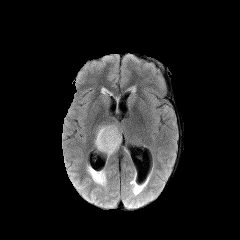
FLAIR magnetic resonance.
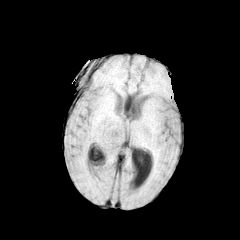
Same slice, T1-weighted MR image.
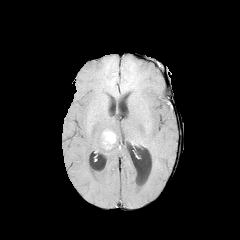
Post-contrast T1-weighted magnetic resonance.
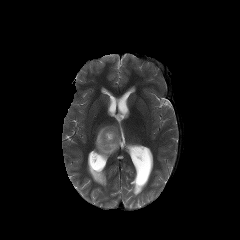
T2-weighted magnetic resonance.
Axial slice | Image size 240x240
Annotated regions:
* enhancing tumor: [102, 130, 116, 149]
* peritumoral edema: [95, 125, 121, 157]